FLAIR MR image.
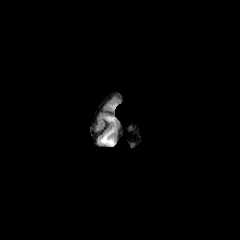
T1-weighted magnetic resonance.
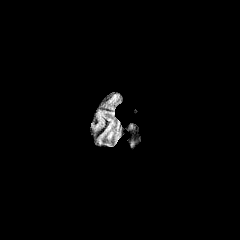
Post-contrast T1-weighted MR image.
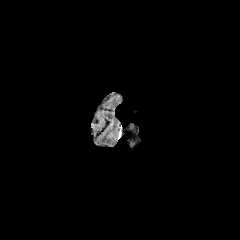
T2-weighted MR image.
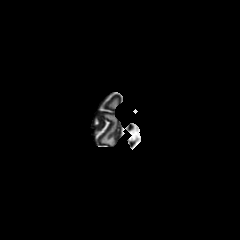
Image size 240x240; Axial plane; Brain
2 peritumoral edema regions are bounded by 99,115,116,146; 109,101,117,109.